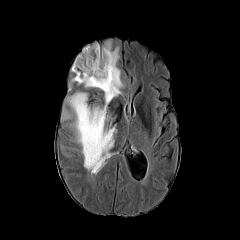
FLAIR MR.
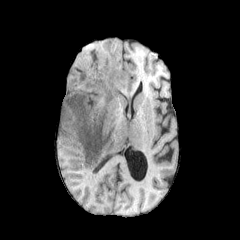
T1-weighted MR image of the same slice.
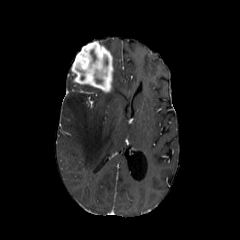
Post-contrast T1-weighted MR.
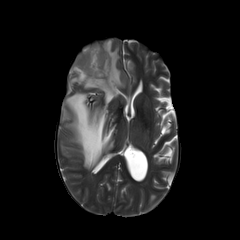
T2-weighted MR image.
Image size 240x240.
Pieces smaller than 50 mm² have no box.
The largest necrotic tumor core region appears at 90,49,96,59. The enhancing tumor is at 71,41,113,92. The largest peritumoral edema region is located at 62,40,123,170.